FLAIR magnetic resonance.
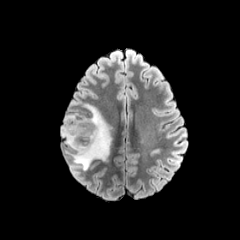
T1-weighted MR image.
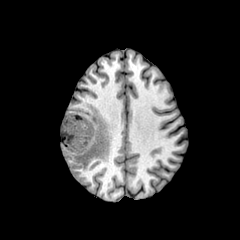
Post-contrast T1-weighted MR.
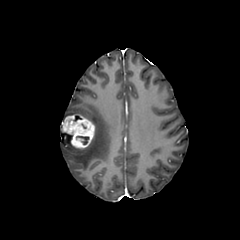
T2-weighted magnetic resonance.
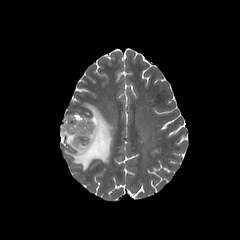
Head. Axial view.
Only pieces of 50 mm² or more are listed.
The enhancing tumor appears at <box>61,114,95,150</box>. The peritumoral edema is bounded by <box>60,104,112,170</box>. The largest necrotic tumor core region is bounded by <box>75,136,88,144</box>.